FLAIR MR.
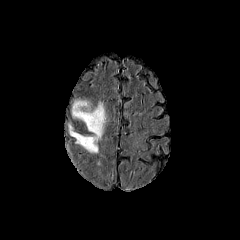
T1-weighted MR image.
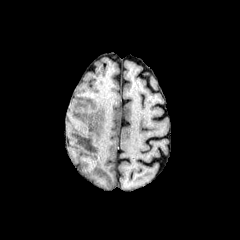
Post-contrast T1-weighted MR image.
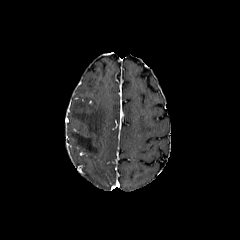
T2-weighted MR.
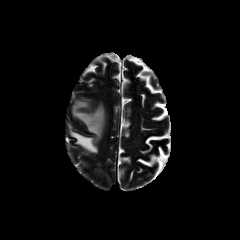
Brain
<segmentation>
  <peritumoral_edema>68, 100, 106, 153</peritumoral_edema>
</segmentation>